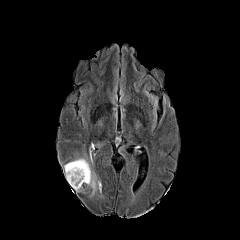
FLAIR magnetic resonance.
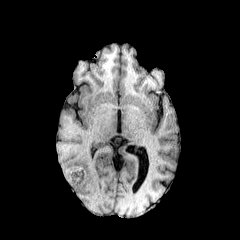
T1-weighted MR.
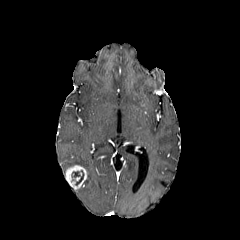
Post-contrast T1-weighted MRI.
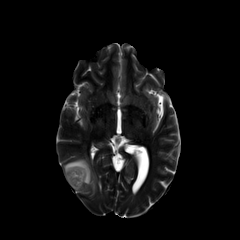
Same slice, T2-weighted magnetic resonance.
Brain
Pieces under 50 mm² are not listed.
{"peritumoral_edema": ["region(63, 157, 101, 196)"], "necrotic_tumor_core": ["region(72, 170, 83, 185)"], "enhancing_tumor": ["region(65, 165, 87, 189)"]}